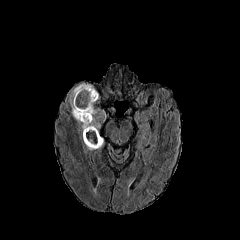
FLAIR MRI.
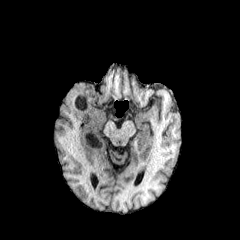
T1-weighted magnetic resonance.
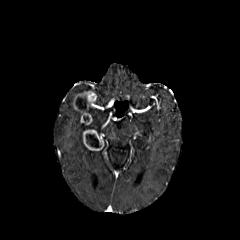
Post-contrast T1-weighted MR of the same slice.
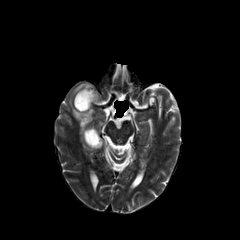
T2-weighted MRI.
240x240
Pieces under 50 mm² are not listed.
peritumoral edema: bounding box <bbox>68, 83, 103, 158</bbox>
enhancing tumor: bounding box <bbox>72, 90, 97, 125</bbox>, <bbox>83, 129, 103, 150</bbox>
necrotic tumor core: bounding box <bbox>76, 95, 86, 109</bbox>, <bbox>86, 134, 100, 147</bbox>